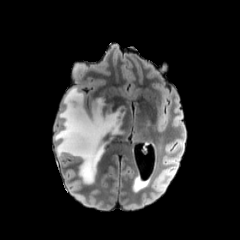
FLAIR MRI.
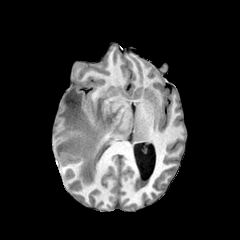
T1-weighted MRI of the same slice.
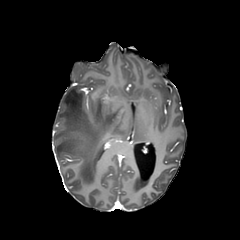
Same slice, post-contrast T1-weighted MR.
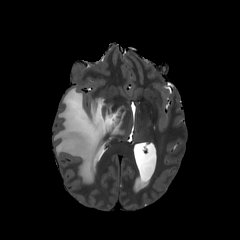
T2-weighted MR image of the same slice.
Axial slice
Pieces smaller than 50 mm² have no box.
{"peritumoral_edema": ["(left=54, top=87, right=124, bottom=184)"]}